Head; Axial slice
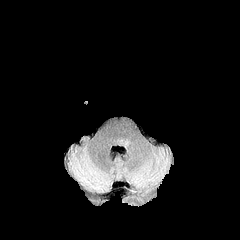
FLAIR MRI.
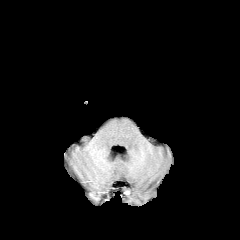
Same slice, T1-weighted MR.
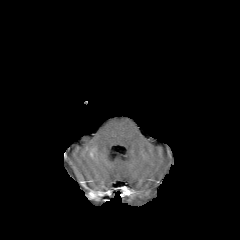
Post-contrast T1-weighted MR.
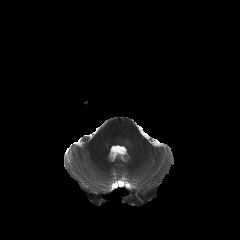
Same slice, T2-weighted MR.
The peritumoral edema is at x1=118 y1=139 x2=128 y2=146.